Brain. Axial view.
FLAIR MR.
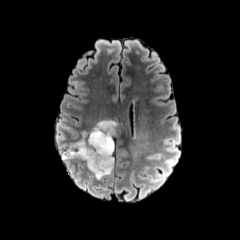
T1-weighted MR image.
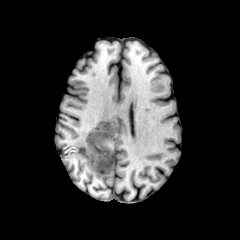
Post-contrast T1-weighted MRI.
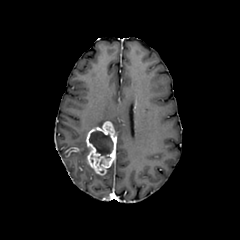
T2-weighted MR image.
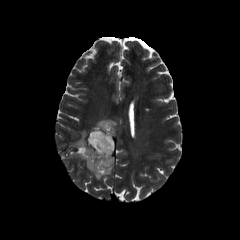
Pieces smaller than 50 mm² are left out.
enhancing tumor = region(86, 121, 116, 175); region(66, 147, 78, 156)
necrotic tumor core = region(89, 131, 113, 157)
peritumoral edema = region(93, 120, 117, 130); region(87, 164, 103, 179); region(62, 131, 87, 163)